Head; Image covers 240 mm x 240 mm
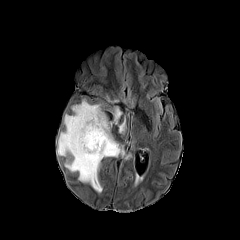
FLAIR MR image.
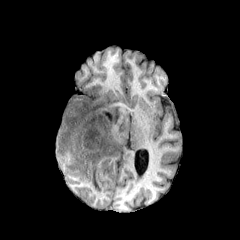
T1-weighted MR of the same slice.
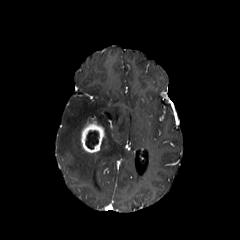
Same slice, post-contrast T1-weighted MR.
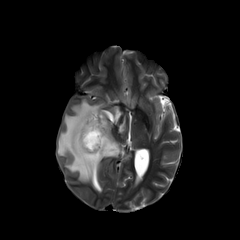
T2-weighted magnetic resonance.
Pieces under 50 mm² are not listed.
Segmented structures:
* enhancing tumor: box=[81, 116, 105, 153]
* necrotic tumor core: box=[85, 130, 99, 149]
* peritumoral edema: box=[113, 106, 122, 124]; box=[57, 99, 124, 192]; box=[119, 118, 125, 133]